Brain | Axial view
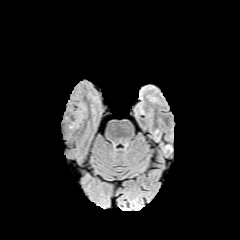
FLAIR magnetic resonance.
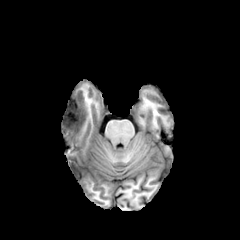
T1-weighted MR image.
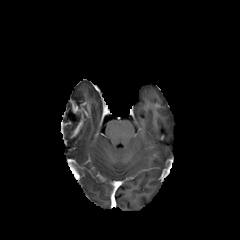
Post-contrast T1-weighted MRI.
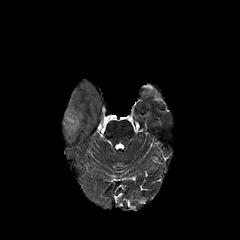
Same slice, T2-weighted MRI.
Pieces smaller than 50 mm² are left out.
peritumoral edema: 72 92 85 102 | necrotic tumor core: 63 102 81 137 | enhancing tumor: 61 120 71 135, 70 99 89 138